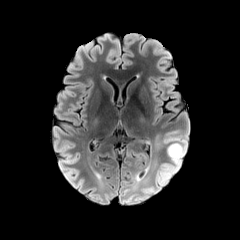
FLAIR MR image.
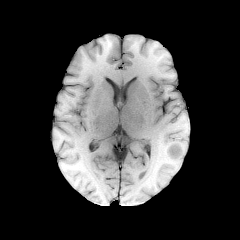
T1-weighted magnetic resonance.
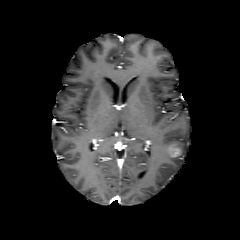
Post-contrast T1-weighted MR image.
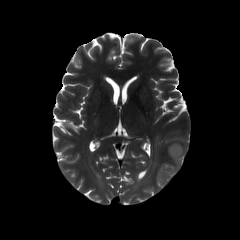
T2-weighted magnetic resonance of the same slice.
Axial plane
The peritumoral edema is at (156, 136, 187, 186). The enhancing tumor is bounded by (167, 143, 182, 157).